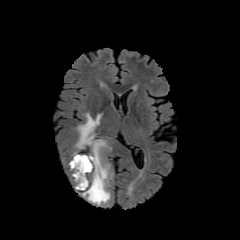
FLAIR magnetic resonance.
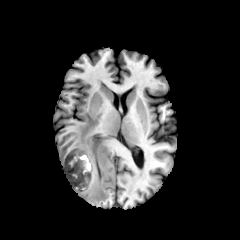
T1-weighted MR.
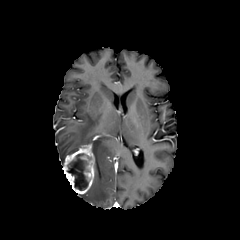
Post-contrast T1-weighted MR of the same slice.
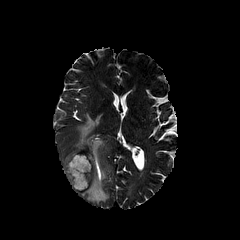
T2-weighted magnetic resonance.
Axial slice | Brain
peritumoral edema: 74:113:110:204
necrotic tumor core: 67:153:91:190
enhancing tumor: 63:144:94:193